FLAIR MR image.
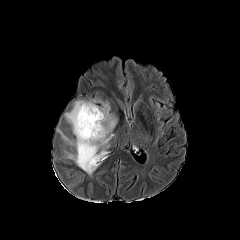
T1-weighted MR image.
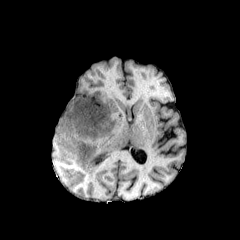
Post-contrast T1-weighted magnetic resonance.
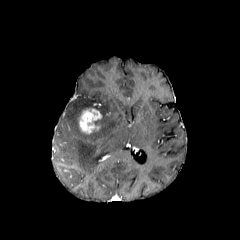
T2-weighted MRI.
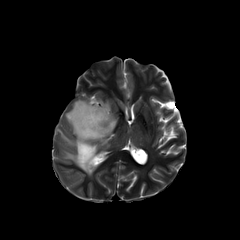
Image size 240x240; Head
enhancing tumor = [78, 108, 102, 134]
peritumoral edema = [57, 99, 117, 175]